FLAIR MR image.
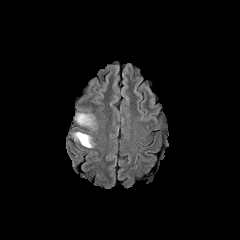
T1-weighted magnetic resonance.
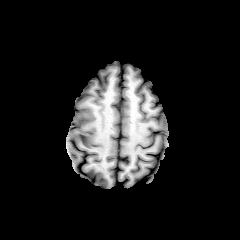
Post-contrast T1-weighted MRI.
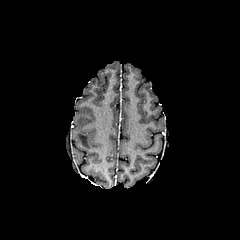
T2-weighted magnetic resonance.
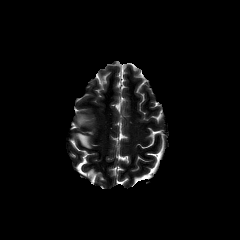
Brain.
Annotated regions:
- peritumoral edema: box=[77, 114, 91, 124]; box=[75, 132, 91, 147]